Image size 240x240, Axial plane
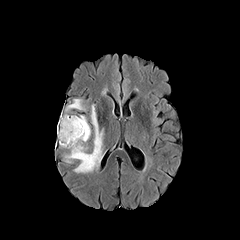
FLAIR MRI.
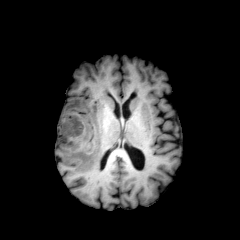
T1-weighted MR image.
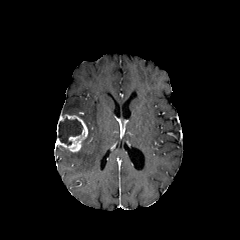
Post-contrast T1-weighted MRI of the same slice.
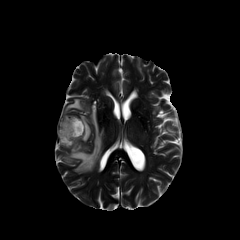
Same slice, T2-weighted MRI.
- peritumoral edema: (left=65, top=99, right=85, bottom=111), (left=64, top=105, right=103, bottom=172), (left=80, top=115, right=90, bottom=141)
- necrotic tumor core: (left=58, top=117, right=82, bottom=145)
- enhancing tumor: (left=56, top=114, right=88, bottom=152)